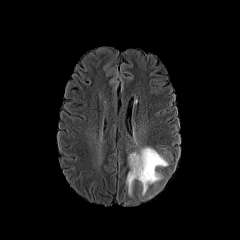
FLAIR MR image.
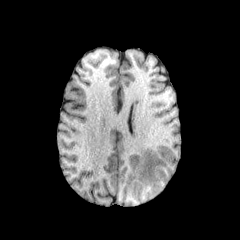
T1-weighted MR.
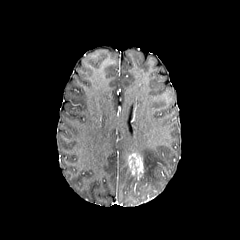
Post-contrast T1-weighted MR.
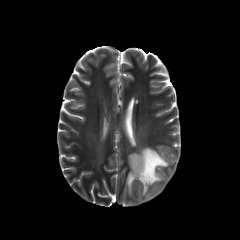
T2-weighted MRI of the same slice.
Brain
enhancing_tumor:
  - (left=128, top=153, right=144, bottom=179)
peritumoral_edema:
  - (left=126, top=171, right=136, bottom=195)
  - (left=137, top=147, right=168, bottom=195)